Head; Slice 78 of 155; 240x240
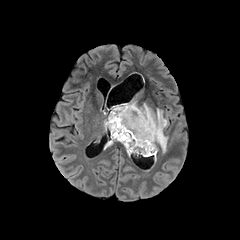
FLAIR magnetic resonance.
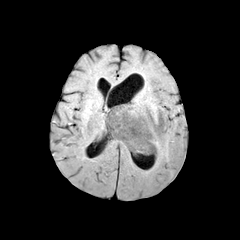
Same slice, T1-weighted MR image.
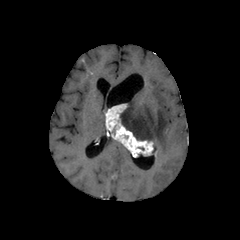
Post-contrast T1-weighted magnetic resonance.
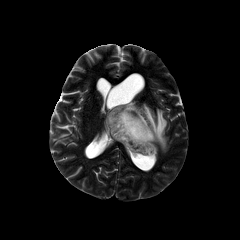
T2-weighted MR image of the same slice.
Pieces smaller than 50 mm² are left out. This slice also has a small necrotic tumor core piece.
peritumoral edema: bounding box 104, 137, 115, 148; 120, 100, 168, 153
enhancing tumor: bounding box 105, 103, 156, 156